FLAIR magnetic resonance.
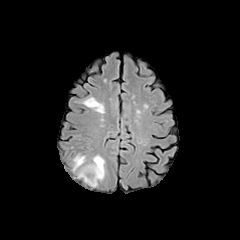
T1-weighted MR image.
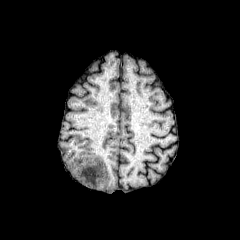
Post-contrast T1-weighted MRI.
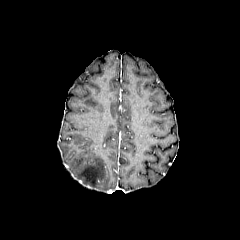
T2-weighted MR.
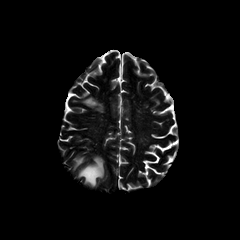
Axial slice
peritumoral edema: bounding box (78, 155, 104, 187), (73, 155, 85, 171)